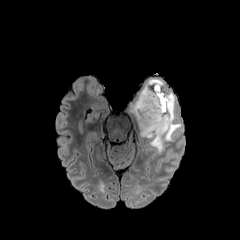
FLAIR MRI.
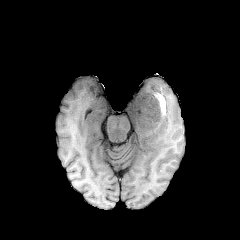
Same slice, T1-weighted magnetic resonance.
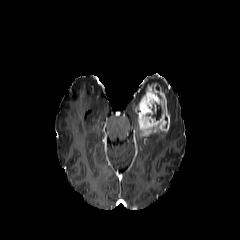
Post-contrast T1-weighted magnetic resonance of the same slice.
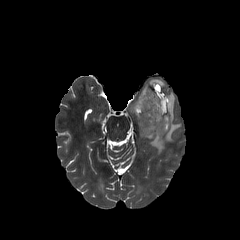
Same slice, T2-weighted MRI.
Brain
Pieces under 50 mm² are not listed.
<segmentation>
  <peritumoral_edema>146,92,181,154; 136,87,145,102; 147,78,165,87</peritumoral_edema>
  <necrotic_tumor_core>152,104,164,119</necrotic_tumor_core>
  <enhancing_tumor>132,82,170,137</enhancing_tumor>
</segmentation>